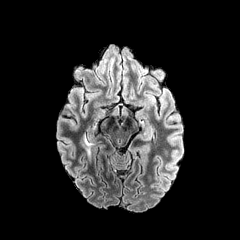
FLAIR MR.
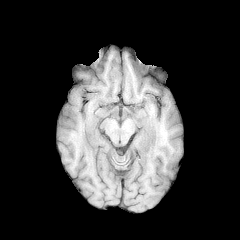
T1-weighted MRI.
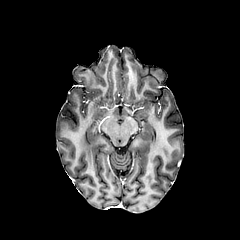
Same slice, post-contrast T1-weighted magnetic resonance.
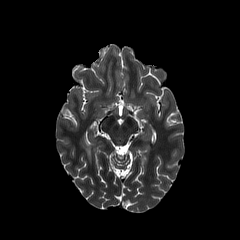
Same slice, T2-weighted MR.
240x240 px
<segmentation>
  <peritumoral_edema>region(80, 133, 93, 160)</peritumoral_edema>
</segmentation>